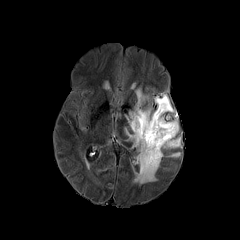
FLAIR MRI.
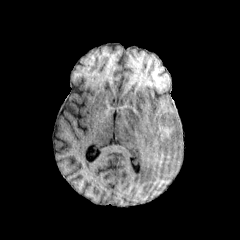
T1-weighted MR.
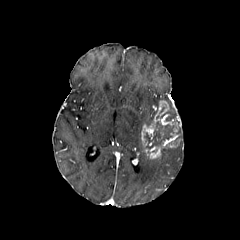
Post-contrast T1-weighted MR image of the same slice.
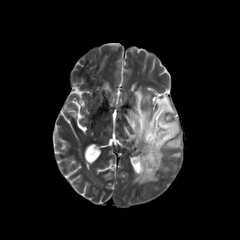
T2-weighted magnetic resonance.
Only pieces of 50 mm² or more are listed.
{"necrotic_tumor_core": ["box(156, 104, 178, 123)", "box(144, 121, 176, 149)"], "enhancing_tumor": ["box(141, 100, 180, 158)"], "peritumoral_edema": ["box(153, 94, 169, 107)", "box(125, 88, 163, 183)"]}